FLAIR MR.
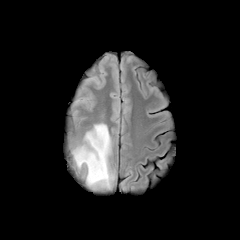
T1-weighted MR.
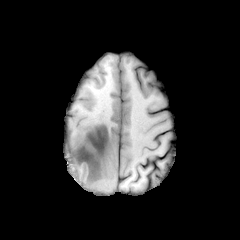
Post-contrast T1-weighted MRI.
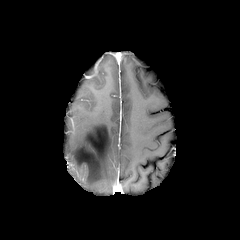
T2-weighted MRI.
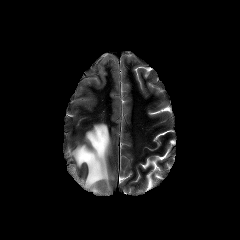
240x240 px. Axial plane. Head.
{
  "peritumoral_edema": [
    "rect(72, 123, 114, 190)"
  ]
}